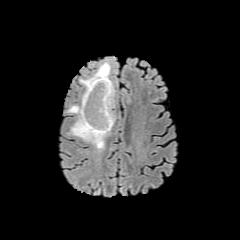
FLAIR magnetic resonance.
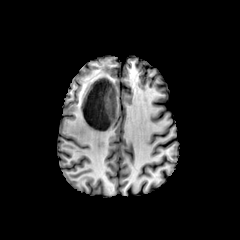
T1-weighted MRI of the same slice.
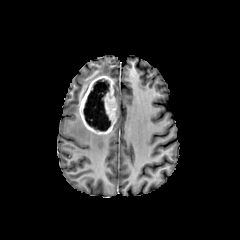
Post-contrast T1-weighted MRI.
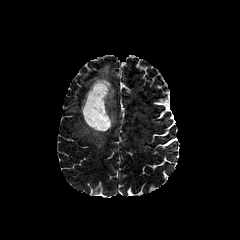
Same slice, T2-weighted MR image.
Brain
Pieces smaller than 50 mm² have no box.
{
  "peritumoral_edema": [
    "x1=80 y1=62 x2=110 y2=94",
    "x1=67 y1=105 x2=109 y2=150"
  ],
  "necrotic_tumor_core": [
    "x1=83 y1=79 x2=110 y2=131"
  ],
  "enhancing_tumor": [
    "x1=79 y1=76 x2=116 y2=134"
  ]
}